FLAIR magnetic resonance.
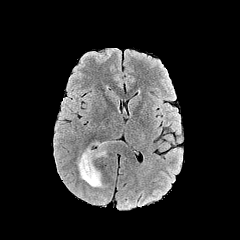
T1-weighted magnetic resonance.
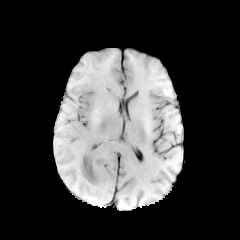
Post-contrast T1-weighted MRI.
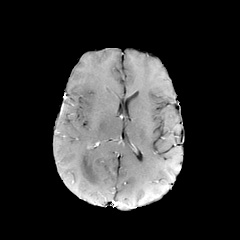
T2-weighted MRI.
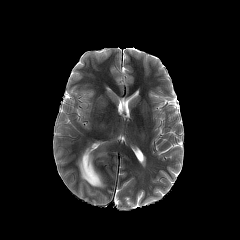
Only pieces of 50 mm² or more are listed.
{
  "peritumoral_edema": [
    "x1=77, y1=141, x2=107, y2=188"
  ]
}